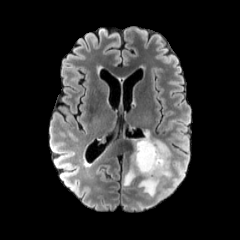
FLAIR MR image.
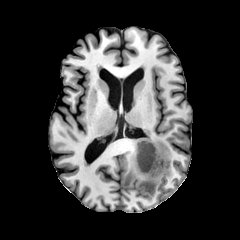
T1-weighted MRI of the same slice.
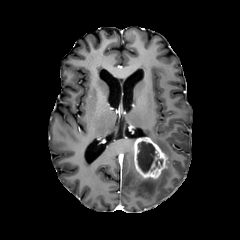
Post-contrast T1-weighted MR image.
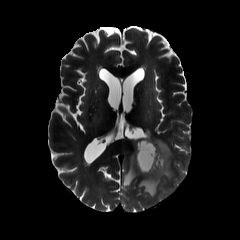
T2-weighted magnetic resonance.
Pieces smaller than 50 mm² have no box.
Findings:
* necrotic tumor core: <bbox>137, 141, 156, 172</bbox>
* peritumoral edema: <bbox>138, 130, 170, 196</bbox>, <bbox>123, 153, 138, 186</bbox>
* enhancing tumor: <bbox>133, 137, 167, 179</bbox>